Slice index 95 | Head | Axial plane
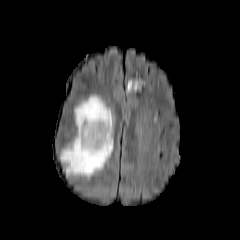
FLAIR MRI.
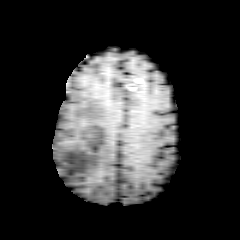
Same slice, T1-weighted magnetic resonance.
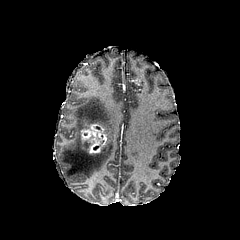
Post-contrast T1-weighted MRI of the same slice.
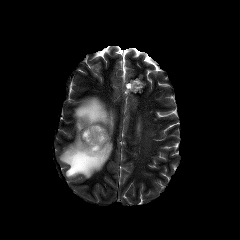
T2-weighted MRI of the same slice.
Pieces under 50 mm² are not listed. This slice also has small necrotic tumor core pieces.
The peritumoral edema is bounded by (x1=60, y1=96, x2=113, y2=177). The enhancing tumor is located at (x1=81, y1=124, x2=107, y2=153).